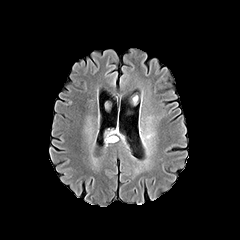
FLAIR MR.
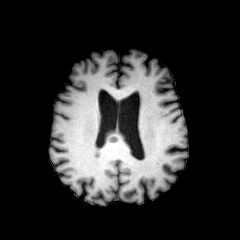
T1-weighted MR image of the same slice.
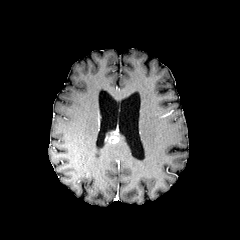
Post-contrast T1-weighted magnetic resonance.
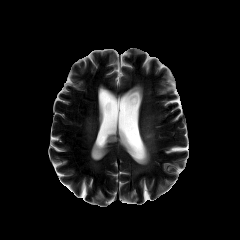
T2-weighted MR image.
Axial plane, 240x240
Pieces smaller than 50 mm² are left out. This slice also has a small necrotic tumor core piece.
enhancing tumor: 108, 136, 118, 143